240x240 px. Image covers 240 mm x 240 mm. Slice 110 of 155. Head.
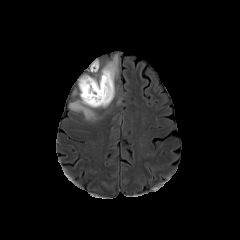
FLAIR magnetic resonance.
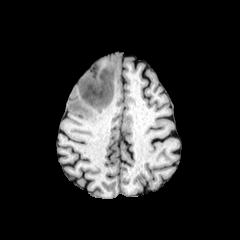
T1-weighted MRI.
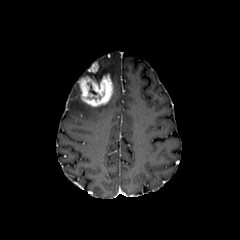
Post-contrast T1-weighted MR image of the same slice.
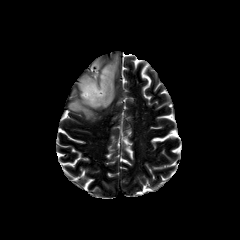
T2-weighted MRI.
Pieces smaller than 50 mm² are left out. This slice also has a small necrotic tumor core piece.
enhancing_tumor:
  - x1=78, y1=74, x2=113, y2=106
  - x1=88, y1=62, x2=98, y2=72
peritumoral_edema:
  - x1=68, y1=54, x2=119, y2=121